Slice index 122 | Brain | Image covers 240 mm x 240 mm
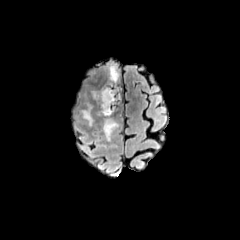
FLAIR MRI.
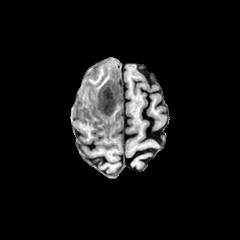
T1-weighted MR.
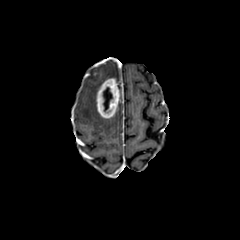
Same slice, post-contrast T1-weighted MR.
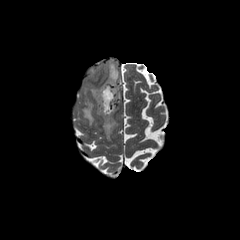
T2-weighted MRI.
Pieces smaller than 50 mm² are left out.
• necrotic tumor core: l=103, t=87, r=112, b=111
• enhancing tumor: l=96, t=78, r=120, b=118
• peritumoral edema: l=103, t=118, r=118, b=140; l=109, t=64, r=119, b=82; l=82, t=104, r=93, b=125